FLAIR MR image.
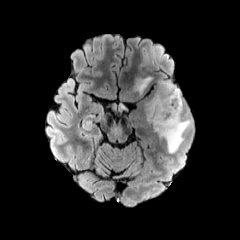
T1-weighted magnetic resonance.
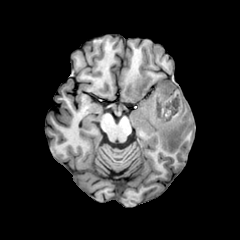
Post-contrast T1-weighted magnetic resonance.
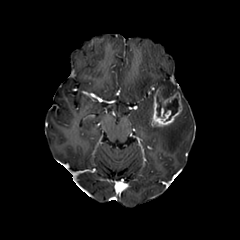
T2-weighted MRI.
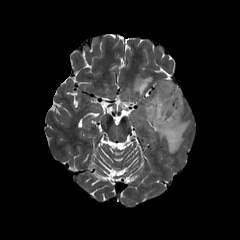
Brain
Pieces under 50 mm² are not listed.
peritumoral edema: bounding box (x1=147, y1=99, x2=152, y2=122), (x1=153, y1=112, x2=191, y2=153), (x1=160, y1=81, x2=180, y2=96), (x1=134, y1=76, x2=152, y2=95)
necrotic tumor core: bounding box (x1=157, y1=96, x2=161, y2=116), (x1=164, y1=98, x2=178, y2=120)
enhancing tumor: bounding box (x1=151, y1=87, x2=182, y2=126)